FLAIR MR.
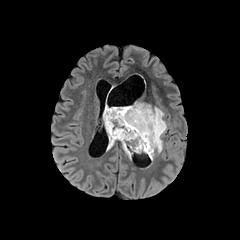
T1-weighted magnetic resonance.
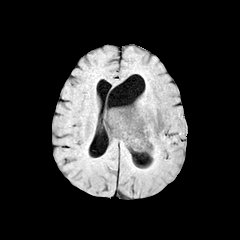
Post-contrast T1-weighted MRI.
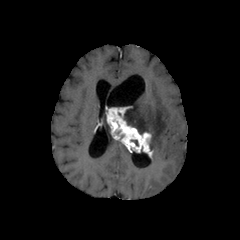
T2-weighted MR.
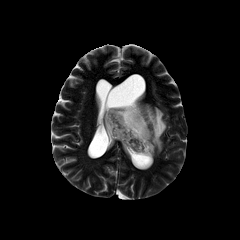
Axial plane | Image size 240x240
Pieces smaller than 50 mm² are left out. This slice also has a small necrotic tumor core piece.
Findings:
* peritumoral edema: [x1=124, y1=101, x2=166, y2=158], [x1=122, y1=144, x2=131, y2=159], [x1=103, y1=110, x2=117, y2=150]
* enhancing tumor: [x1=105, y1=106, x2=153, y2=158]